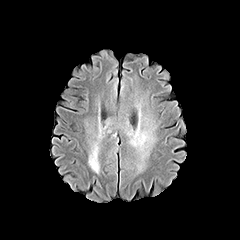
FLAIR MR image.
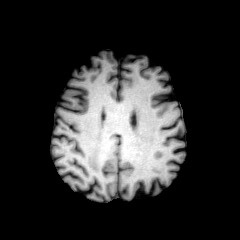
T1-weighted MR image.
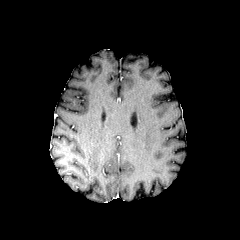
Post-contrast T1-weighted MR image.
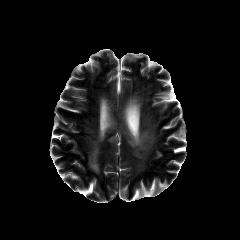
T2-weighted MR image of the same slice.
Axial plane. Brain.
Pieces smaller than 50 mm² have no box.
Findings:
- peritumoral edema: 89 146 99 173